Axial plane, Head
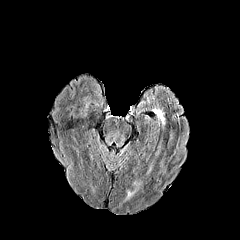
FLAIR MR image.
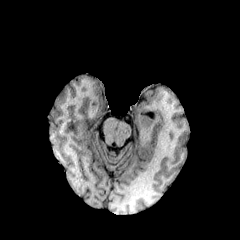
T1-weighted MR image.
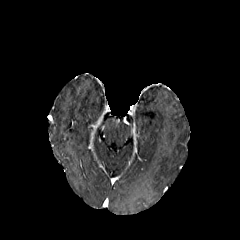
Post-contrast T1-weighted MR of the same slice.
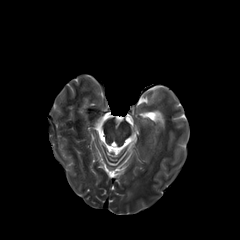
T2-weighted MR of the same slice.
The peritumoral edema is bounded by box(155, 110, 164, 125).